FLAIR MRI.
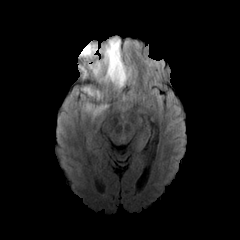
T1-weighted MR.
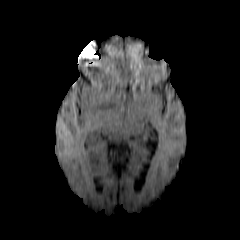
Post-contrast T1-weighted magnetic resonance.
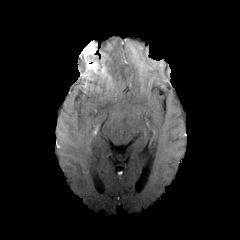
T2-weighted magnetic resonance.
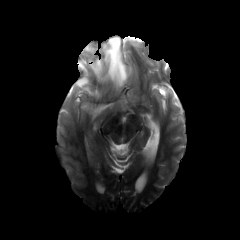
Head | 240x240
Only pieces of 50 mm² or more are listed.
peritumoral edema: x1=92, y1=37, x2=130, y2=91; x1=81, y1=85, x2=103, y2=99; x1=85, y1=101, x2=108, y2=116 | enhancing tumor: x1=81, y1=45, x2=110, y2=77